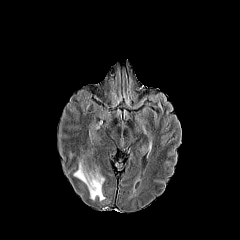
FLAIR MR.
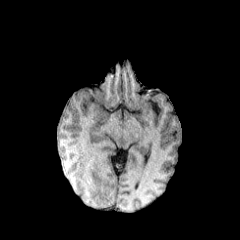
T1-weighted magnetic resonance.
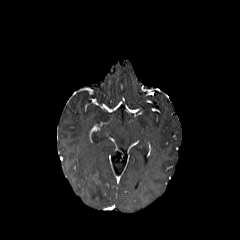
Same slice, post-contrast T1-weighted MRI.
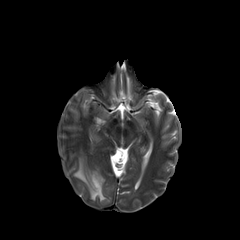
T2-weighted MR of the same slice.
Axial slice
Annotated regions:
* enhancing tumor: left=91, top=173, right=100, bottom=184
* peritumoral edema: left=74, top=159, right=105, bottom=200